FLAIR MR.
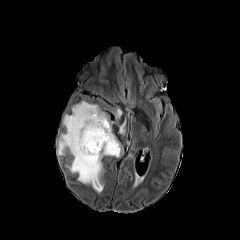
T1-weighted magnetic resonance.
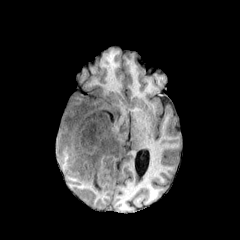
Post-contrast T1-weighted MR.
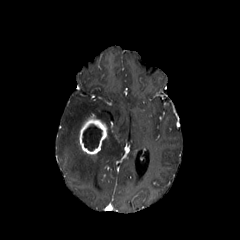
T2-weighted magnetic resonance.
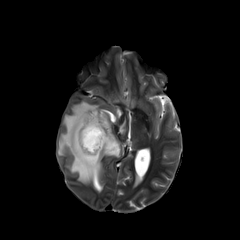
Head
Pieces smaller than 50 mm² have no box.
necrotic tumor core: [82,124,102,151]
peritumoral edema: [119,121,125,133], [57,100,122,192], [115,108,122,118]
enhancing tumor: [79,113,107,155]